FLAIR MR.
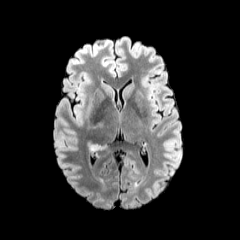
T1-weighted MR image.
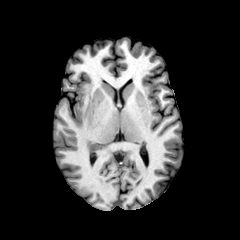
Post-contrast T1-weighted magnetic resonance.
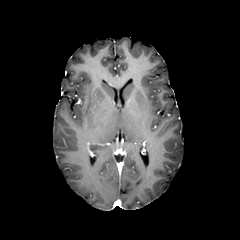
T2-weighted MR image.
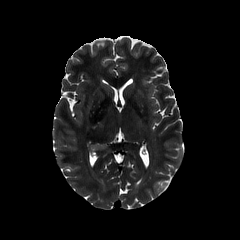
Axial slice, Brain
Annotated regions:
* peritumoral edema: (87, 141, 107, 150)